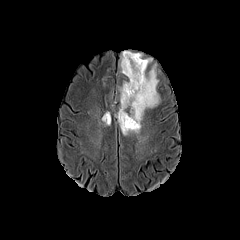
FLAIR MRI.
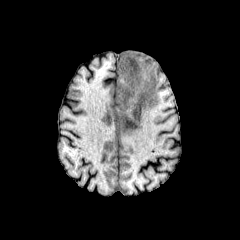
T1-weighted MR image.
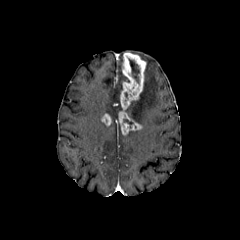
Post-contrast T1-weighted magnetic resonance.
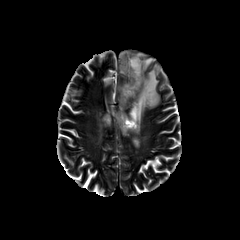
T2-weighted magnetic resonance.
240x240. Axial plane.
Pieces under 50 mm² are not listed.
necrotic tumor core = box(129, 59, 139, 82)
enhancing tumor = box(118, 52, 146, 134); box(101, 114, 111, 125)
peritumoral edema = box(119, 51, 130, 72); box(128, 64, 160, 124); box(133, 53, 152, 69)